FLAIR magnetic resonance.
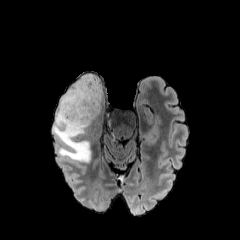
T1-weighted MRI.
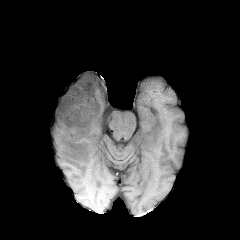
Post-contrast T1-weighted MR.
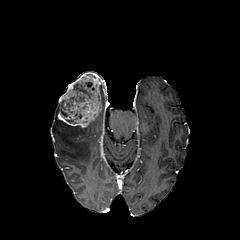
T2-weighted MR.
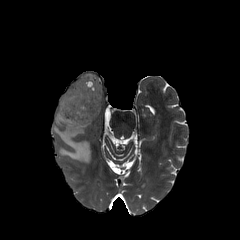
240x240 px
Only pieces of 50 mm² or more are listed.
<segmentation>
  <peritumoral_edema>53, 103, 90, 163</peritumoral_edema>
  <necrotic_tumor_core>66, 81, 93, 113</necrotic_tumor_core>
  <enhancing_tumor>58, 73, 102, 127</enhancing_tumor>
</segmentation>